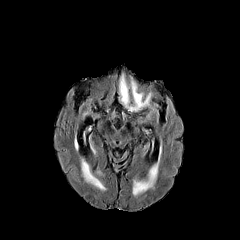
FLAIR MR.
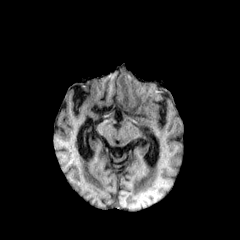
Same slice, T1-weighted MRI.
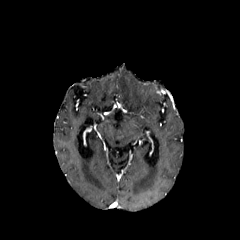
Post-contrast T1-weighted magnetic resonance.
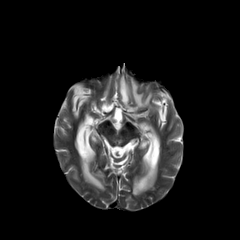
T2-weighted MR image of the same slice.
Brain
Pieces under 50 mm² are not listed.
peritumoral edema — (left=119, top=74, right=151, bottom=111), (left=133, top=165, right=157, bottom=195), (left=81, top=160, right=105, bottom=190)